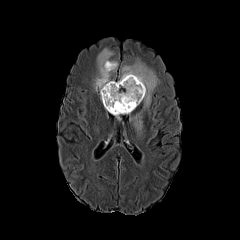
FLAIR magnetic resonance.
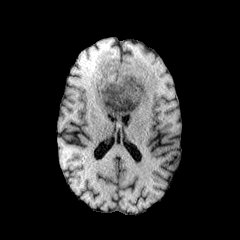
T1-weighted MR.
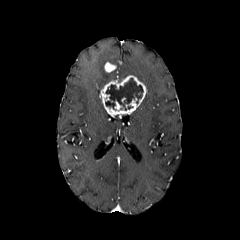
Post-contrast T1-weighted MR.
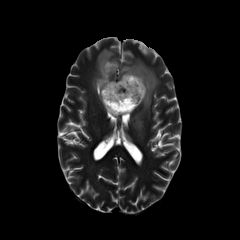
T2-weighted MRI of the same slice.
Brain; Image size 240x240; Axial slice
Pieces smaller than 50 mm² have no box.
peritumoral edema — 118, 59, 158, 132; 93, 49, 117, 91
enhancing tumor — 100, 75, 147, 115; 104, 62, 116, 72
necrotic tumor core — 105, 78, 143, 110